FLAIR MR image.
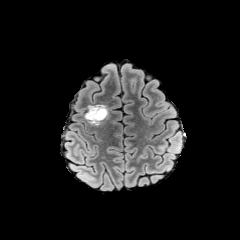
T1-weighted MRI.
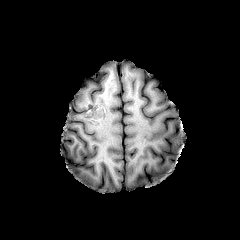
Post-contrast T1-weighted magnetic resonance.
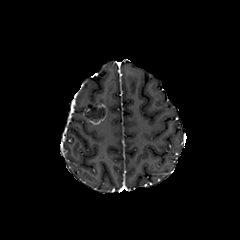
T2-weighted MR image.
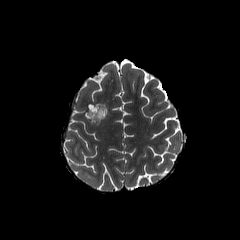
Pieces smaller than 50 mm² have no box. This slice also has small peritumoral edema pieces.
The necrotic tumor core is bounded by bbox=[86, 107, 105, 121]. The enhancing tumor is at bbox=[84, 104, 107, 124].